FLAIR MRI.
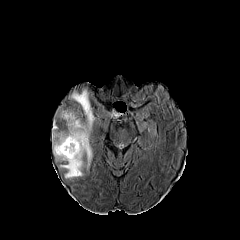
T1-weighted MRI.
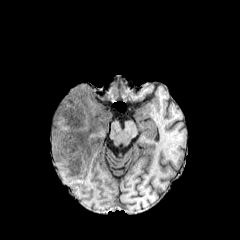
Post-contrast T1-weighted MR image.
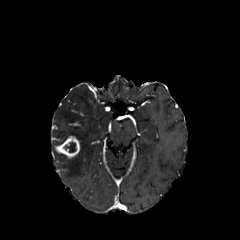
T2-weighted magnetic resonance.
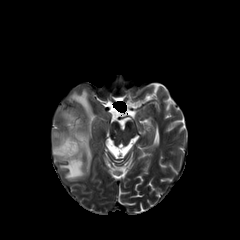
Head | Image size 240x240
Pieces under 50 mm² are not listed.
necrotic tumor core at {"x1": 64, "y1": 142, "x2": 75, "y2": 152}
peritumoral edema at {"x1": 53, "y1": 110, "x2": 91, "y2": 178}, {"x1": 70, "y1": 90, "x2": 94, "y2": 130}
enhancing tumor at {"x1": 55, "y1": 135, "x2": 80, "y2": 158}